Axial slice | Slice 120 of 155
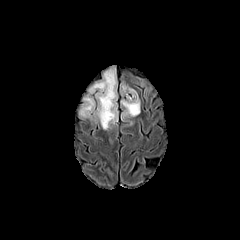
FLAIR MRI.
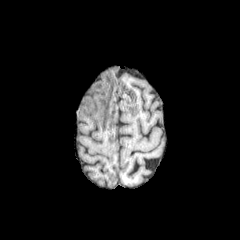
Same slice, T1-weighted magnetic resonance.
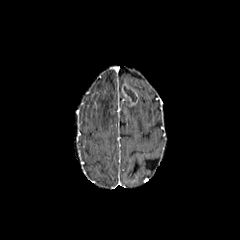
Post-contrast T1-weighted magnetic resonance of the same slice.
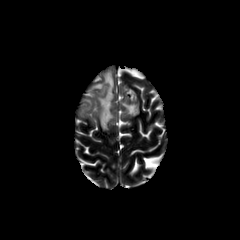
Same slice, T2-weighted magnetic resonance.
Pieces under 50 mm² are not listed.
peritumoral edema — region(121, 96, 140, 118); region(79, 70, 117, 129)
necrotic tumor core — region(123, 86, 135, 102)
enhancing tumor — region(122, 84, 137, 105)